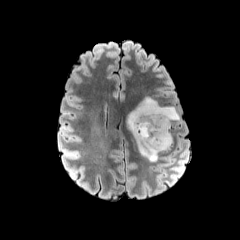
FLAIR MR image.
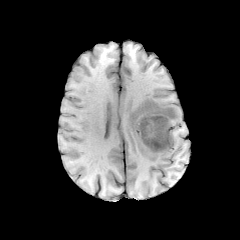
T1-weighted MR of the same slice.
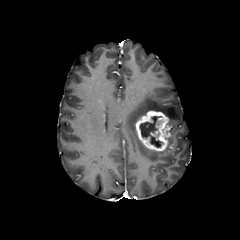
Post-contrast T1-weighted MRI of the same slice.
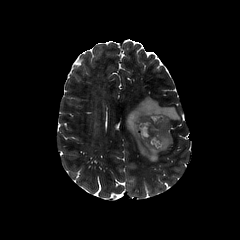
Same slice, T2-weighted MRI.
Brain | Axial plane
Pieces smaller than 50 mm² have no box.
The necrotic tumor core is located at (left=139, top=115, right=164, bottom=148). The largest enhancing tumor region lies within (left=135, top=110, right=171, bottom=151). The largest peritumoral edema region is bounded by (left=126, top=96, right=180, bottom=161).